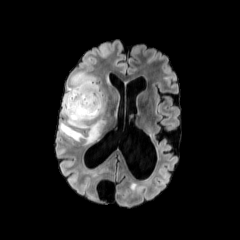
FLAIR MR image.
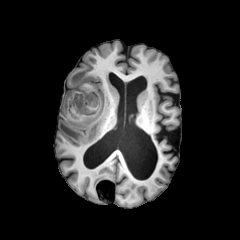
T1-weighted MRI of the same slice.
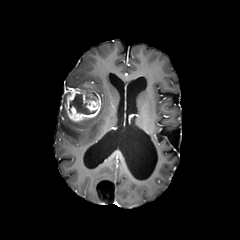
Post-contrast T1-weighted MRI.
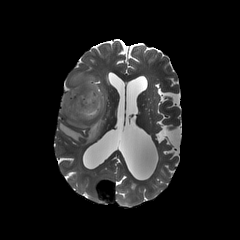
T2-weighted MR.
240x240 | Axial plane | Brain
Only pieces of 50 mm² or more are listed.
<segmentation>
  <enhancing_tumor>(left=64, top=87, right=101, bottom=121)</enhancing_tumor>
  <peritumoral_edema>(left=59, top=72, right=105, bottom=143)</peritumoral_edema>
  <necrotic_tumor_core>(left=70, top=94, right=96, bottom=114)</necrotic_tumor_core>
</segmentation>